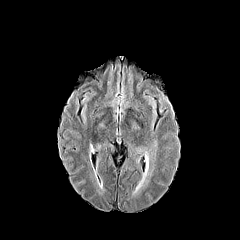
FLAIR MR.
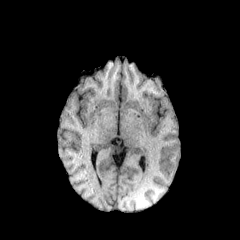
T1-weighted MRI.
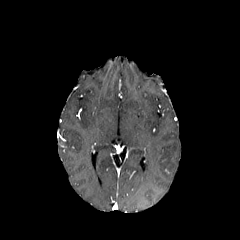
Post-contrast T1-weighted MR image of the same slice.
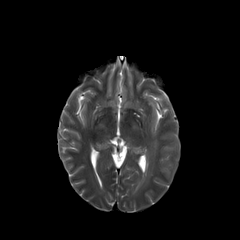
T2-weighted MR.
Head | Axial slice
Findings:
* peritumoral edema: (132, 170, 152, 195)